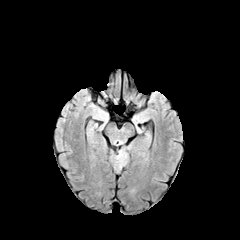
FLAIR MR image.
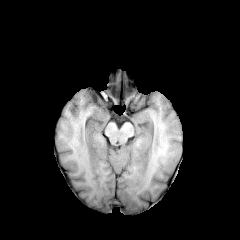
T1-weighted MRI.
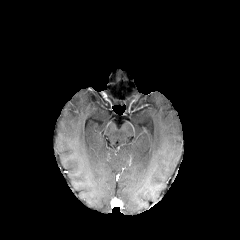
Post-contrast T1-weighted MR.
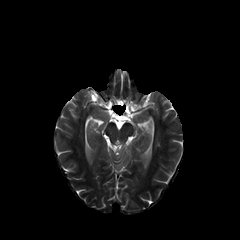
Same slice, T2-weighted magnetic resonance.
Brain, Axial view
- peritumoral edema: x1=116, y1=150, x2=126, y2=167